Axial plane | Slice index 74
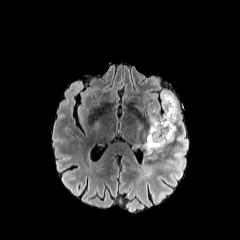
FLAIR MRI.
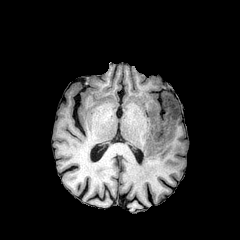
Same slice, T1-weighted MRI.
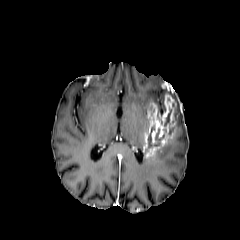
Post-contrast T1-weighted magnetic resonance.
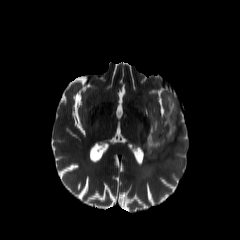
Same slice, T2-weighted MR image.
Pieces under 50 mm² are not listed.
The 2 largest necrotic tumor core regions are bounded by 148,127,157,147; 164,109,171,126. The largest peritumoral edema region is bounded by 145,89,189,172. The enhancing tumor is located at 143,93,176,157.